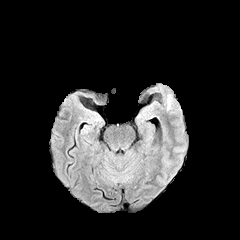
FLAIR MR image.
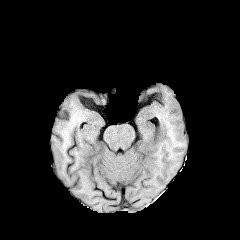
T1-weighted MR of the same slice.
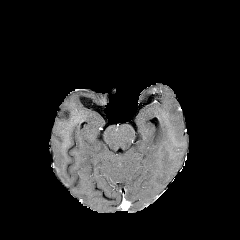
Post-contrast T1-weighted MRI.
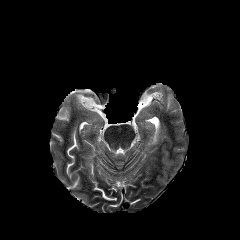
T2-weighted magnetic resonance of the same slice.
peritumoral edema — region(166, 94, 173, 110)